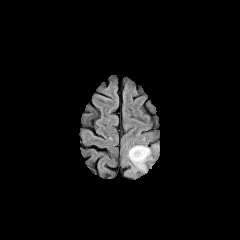
FLAIR MRI.
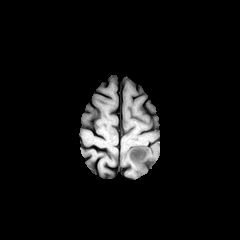
T1-weighted MR.
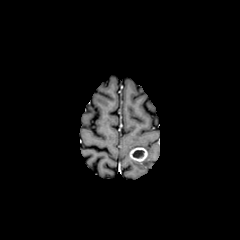
Same slice, post-contrast T1-weighted MR image.
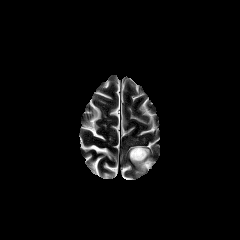
T2-weighted magnetic resonance.
peritumoral edema — l=120, t=145, r=154, b=178
enhancing tumor — l=129, t=147, r=147, b=163
necrotic tumor core — l=132, t=150, r=144, b=158